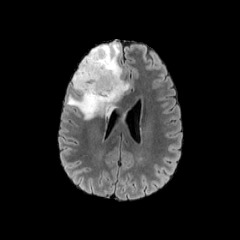
FLAIR MR.
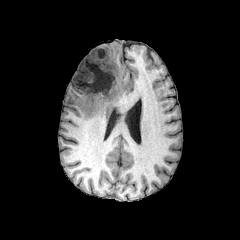
T1-weighted MRI.
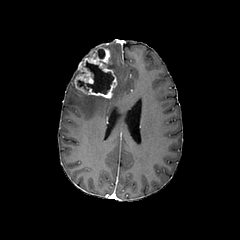
Post-contrast T1-weighted MR.
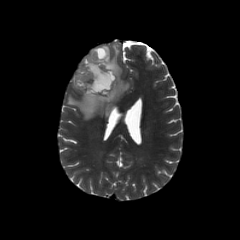
T2-weighted MRI.
240x240 px
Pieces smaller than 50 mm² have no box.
Findings:
* enhancing tumor: 73 46 117 98
* peritumoral edema: 67 43 129 119
* necrotic tumor core: 95 49 105 58, 77 61 113 94